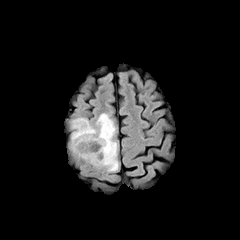
FLAIR MR image.
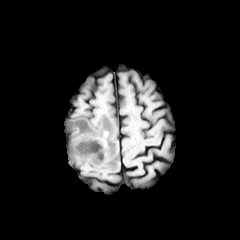
T1-weighted MR image.
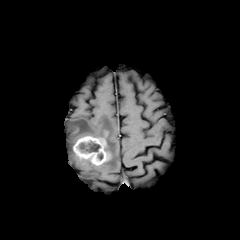
Post-contrast T1-weighted MRI.
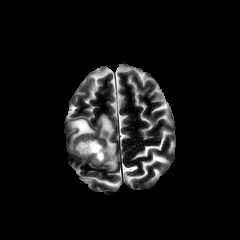
Same slice, T2-weighted MR image.
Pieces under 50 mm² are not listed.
{"enhancing_tumor": ["73,136,110,165"], "necrotic_tumor_core": ["79,141,100,152"], "peritumoral_edema": ["70,113,118,171"]}